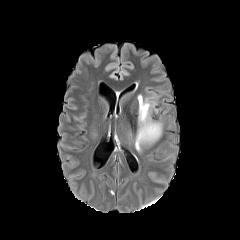
FLAIR MRI.
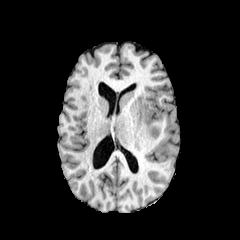
T1-weighted MR.
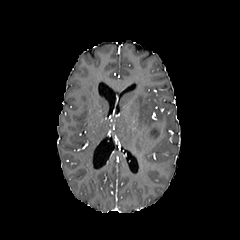
Same slice, post-contrast T1-weighted MR.
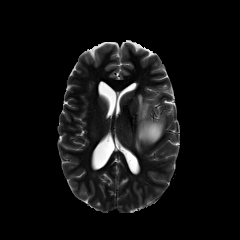
Same slice, T2-weighted MR.
Axial slice
peritumoral edema — (135,94,161,150)